Image size 240x240.
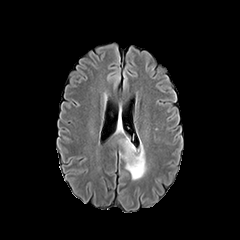
FLAIR MRI.
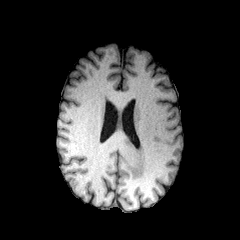
T1-weighted MR image.
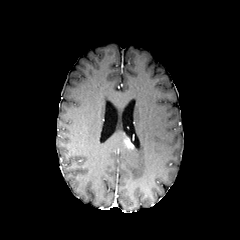
Post-contrast T1-weighted MRI.
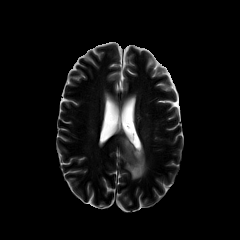
T2-weighted MRI of the same slice.
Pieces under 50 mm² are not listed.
Segmented structures:
* enhancing tumor: 124,138,133,149
* peritumoral edema: 120,139,146,179